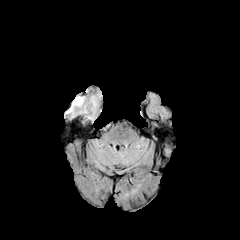
FLAIR magnetic resonance.
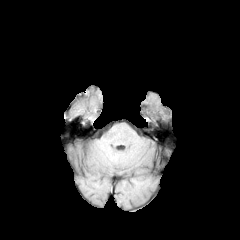
Same slice, T1-weighted MRI.
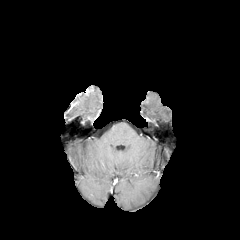
Same slice, post-contrast T1-weighted magnetic resonance.
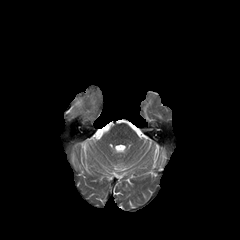
T2-weighted MR image.
Brain | 240x240
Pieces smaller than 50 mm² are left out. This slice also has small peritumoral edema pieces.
The enhancing tumor is at left=71, top=93, right=84, bottom=108.